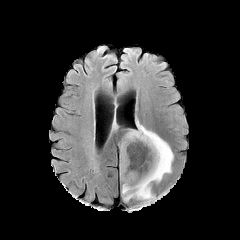
FLAIR MR.
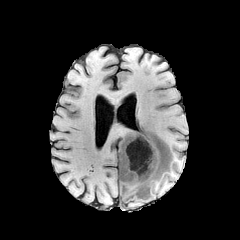
Same slice, T1-weighted MRI.
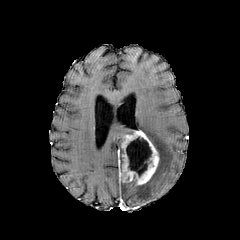
Post-contrast T1-weighted MR of the same slice.
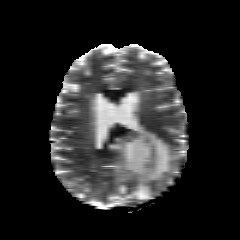
Same slice, T2-weighted magnetic resonance.
Axial plane | Image size 240x240
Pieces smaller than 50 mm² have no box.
enhancing tumor: bounding box x1=119, y1=130, x2=159, y2=185
necrotic tumor core: bounding box x1=126, y1=137, x2=151, y2=176
peritumoral edema: bounding box x1=121, y1=119, x2=173, y2=201